FLAIR magnetic resonance.
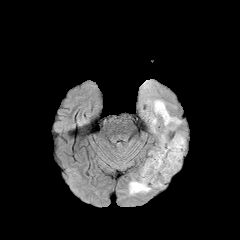
T1-weighted magnetic resonance.
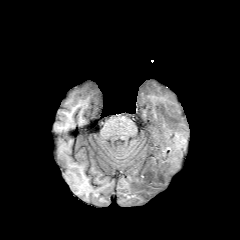
Post-contrast T1-weighted MR image.
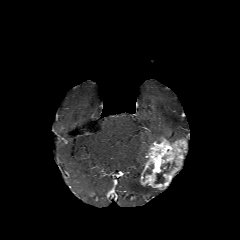
T2-weighted MR image.
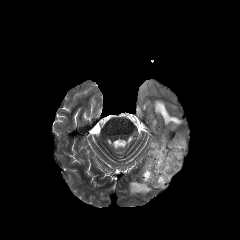
Head.
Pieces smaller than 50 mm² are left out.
Segmented structures:
• peritumoral edema: left=153, top=100, right=182, bottom=129; left=129, top=180, right=151, bottom=194; left=152, top=118, right=156, bottom=132
• enhancing tumor: left=140, top=136, right=187, bottom=189
• necrotic tumor core: left=155, top=163, right=169, bottom=183